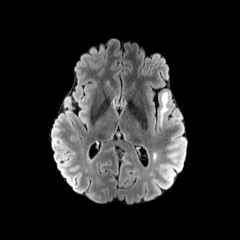
FLAIR MR image.
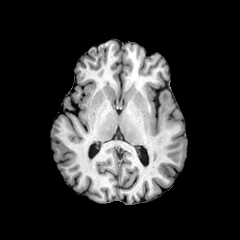
T1-weighted MR.
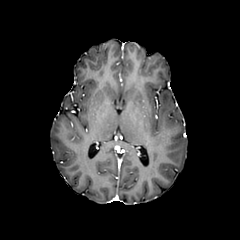
Post-contrast T1-weighted MRI.
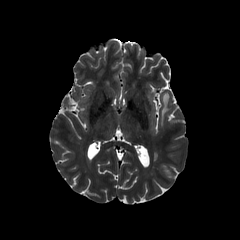
T2-weighted MR image.
240x240
Annotated regions:
- peritumoral edema: bbox(160, 92, 168, 126)